Slice 64/155. Axial slice. Head.
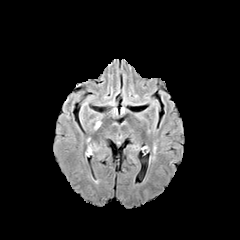
FLAIR magnetic resonance.
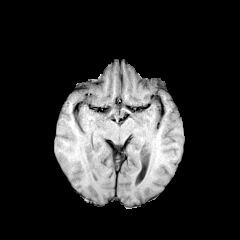
T1-weighted magnetic resonance.
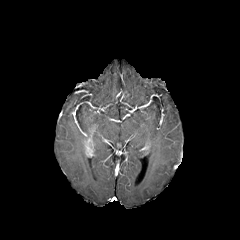
Post-contrast T1-weighted MR of the same slice.
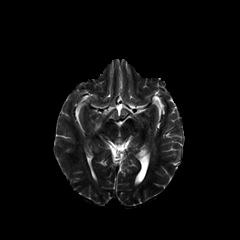
T2-weighted MRI.
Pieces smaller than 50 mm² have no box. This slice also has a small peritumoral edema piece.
The enhancing tumor is located at x1=86, y1=139, x2=94, y2=154.